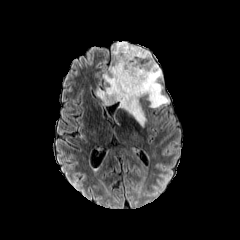
FLAIR magnetic resonance.
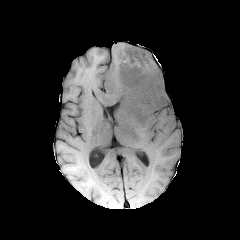
Same slice, T1-weighted MR image.
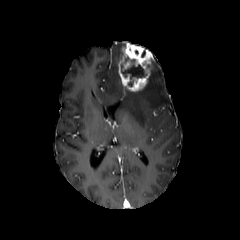
Same slice, post-contrast T1-weighted magnetic resonance.
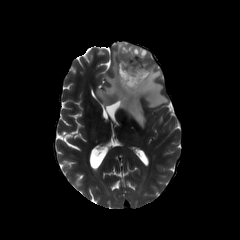
Same slice, T2-weighted MRI.
Brain
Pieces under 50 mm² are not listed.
enhancing_tumor:
  - 118 42 153 93
peritumoral_edema:
  - 97 41 169 126
necrotic_tumor_core:
  - 121 64 145 78